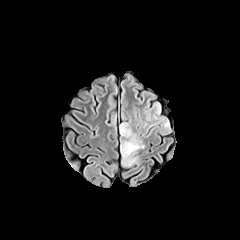
FLAIR magnetic resonance.
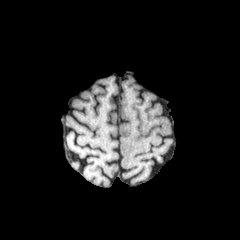
T1-weighted MR image of the same slice.
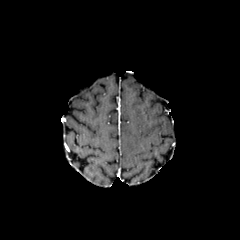
Post-contrast T1-weighted MRI.
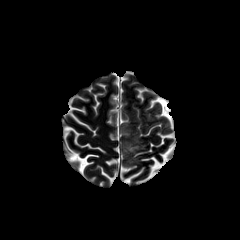
T2-weighted MR image.
Brain; Axial plane
peritumoral edema = rect(120, 124, 144, 165)